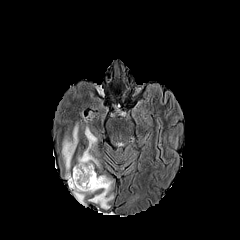
FLAIR MRI.
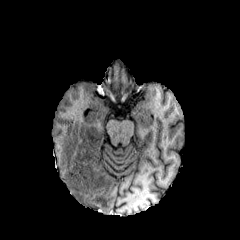
T1-weighted MR image of the same slice.
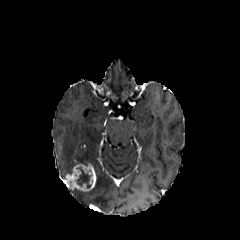
Post-contrast T1-weighted MRI.
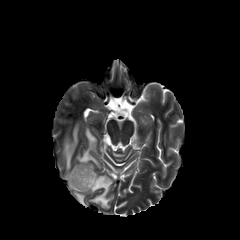
Same slice, T2-weighted MR image.
Axial plane; Image size 240x240
The necrotic tumor core appears at l=77, t=167, r=90, b=188. The enhancing tumor appears at l=65, t=163, r=96, b=191. 3 peritumoral edema regions are located at l=78, t=126, r=98, b=166; l=62, t=123, r=78, b=173; l=73, t=175, r=113, b=208.